Axial slice
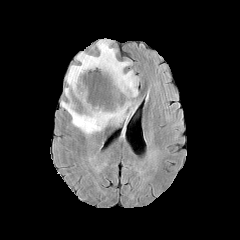
FLAIR magnetic resonance.
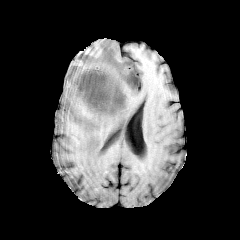
Same slice, T1-weighted MR.
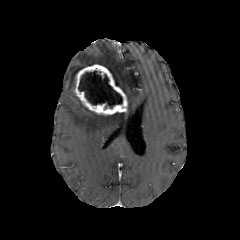
Post-contrast T1-weighted magnetic resonance of the same slice.
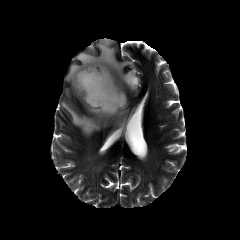
T2-weighted MR.
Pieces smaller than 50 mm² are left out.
enhancing tumor: <box>73,64,127,115</box>
peritumoral edema: <box>61,39,139,136</box>
necrotic tumor core: <box>78,71,122,107</box>